240x240, Slice 70/155
FLAIR MR image.
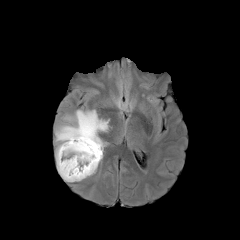
T1-weighted MR.
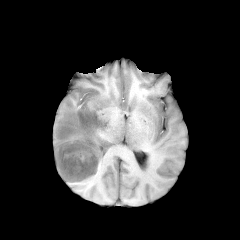
Post-contrast T1-weighted MR.
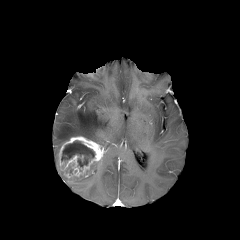
T2-weighted magnetic resonance.
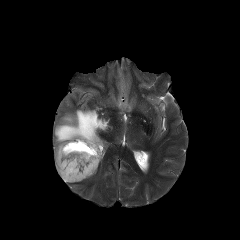
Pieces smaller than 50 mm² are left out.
* peritumoral edema: [55, 109, 109, 166], [92, 157, 102, 173]
* enhancing tumor: [57, 136, 103, 181]
* necrotic tumor core: [61, 141, 95, 166]